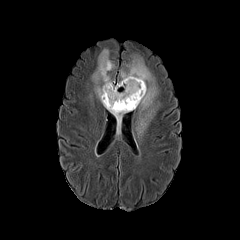
FLAIR MR.
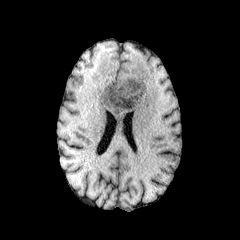
T1-weighted MRI.
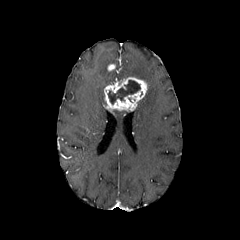
Post-contrast T1-weighted MR.
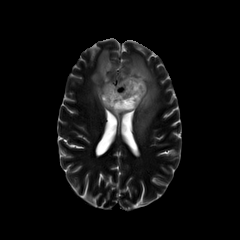
Same slice, T2-weighted magnetic resonance.
Axial view | Brain
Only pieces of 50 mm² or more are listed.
enhancing tumor = x1=103, y1=77, x2=147, y2=112
peritumoral edema = x1=112, y1=111, x2=126, y2=130; x1=120, y1=56, x2=157, y2=137; x1=92, y1=49, x2=114, y2=106
necrotic tumor core = x1=108, y1=80, x2=140, y2=103